FLAIR MRI.
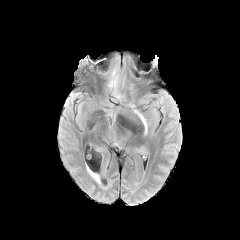
T1-weighted MRI.
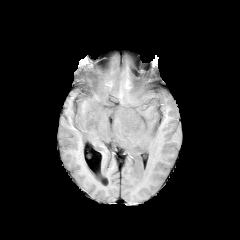
Post-contrast T1-weighted MRI.
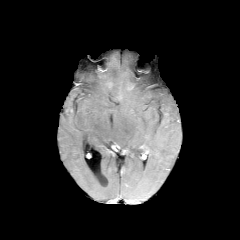
T2-weighted MR.
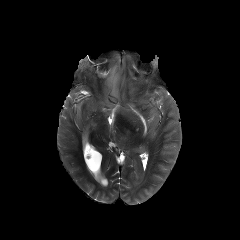
Axial plane. Brain.
peritumoral edema: {"x1": 106, "y1": 57, "x2": 141, "y2": 101}, {"x1": 135, "y1": 110, "x2": 147, "y2": 132}